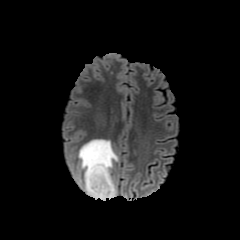
FLAIR MR image.
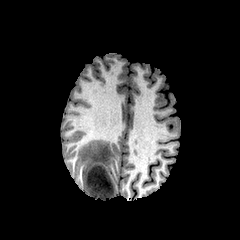
T1-weighted MRI of the same slice.
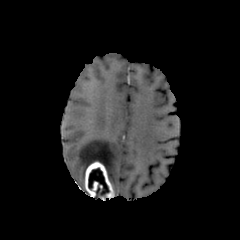
Post-contrast T1-weighted MRI.
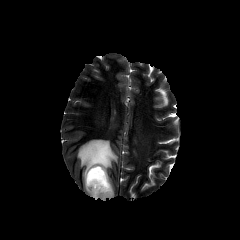
T2-weighted MR image.
Image size 240x240.
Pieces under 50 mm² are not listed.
The largest peritumoral edema region appears at region(78, 139, 118, 196). The necrotic tumor core is located at region(88, 168, 109, 197). The largest enhancing tumor region is bounded by region(85, 161, 114, 200).